Image width 240 mm, 1.00 mm slice spacing | 240x240 px
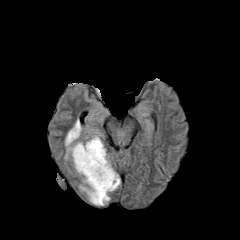
FLAIR MR image.
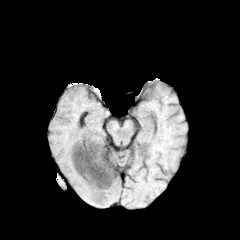
T1-weighted MRI of the same slice.
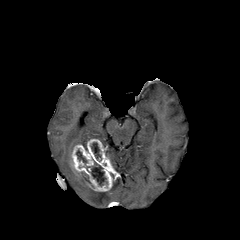
Same slice, post-contrast T1-weighted MRI.
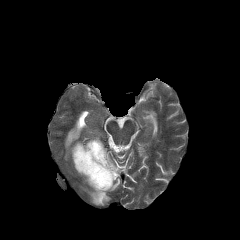
T2-weighted MR image.
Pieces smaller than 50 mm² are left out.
Findings:
- necrotic tumor core: rect(76, 150, 86, 162); rect(91, 165, 105, 185); rect(91, 142, 100, 158)
- peritumoral edema: rect(64, 119, 103, 161); rect(79, 176, 120, 205)
- enhancing tumor: rect(70, 138, 119, 191)